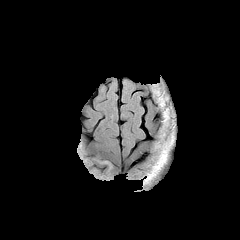
FLAIR MR.
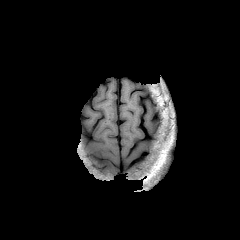
T1-weighted MRI.
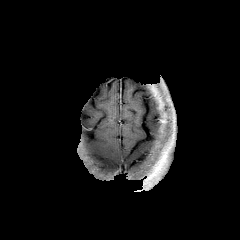
Post-contrast T1-weighted MR.
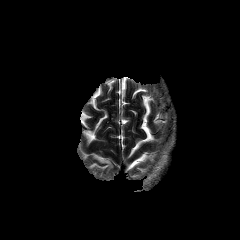
T2-weighted magnetic resonance of the same slice.
Head | Axial plane | 240x240 px
peritumoral edema: bounding box (97,157,112,170)